Head, Slice index 108
FLAIR MR.
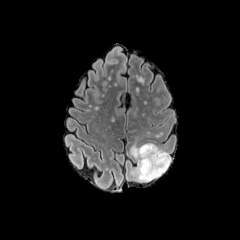
T1-weighted MR image.
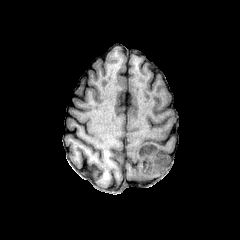
Post-contrast T1-weighted magnetic resonance.
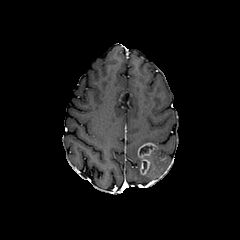
T2-weighted MRI.
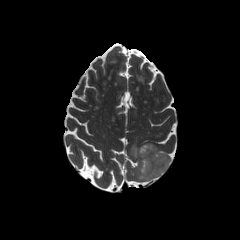
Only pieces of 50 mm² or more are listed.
<segmentation>
  <peritumoral_edema><box>130,144,170,180</box></peritumoral_edema>
  <enhancing_tumor><box>138,143,157,174</box></enhancing_tumor>
  <necrotic_tumor_core><box>139,146,152,155</box></necrotic_tumor_core>
</segmentation>